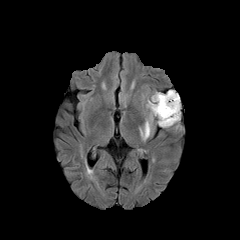
FLAIR magnetic resonance.
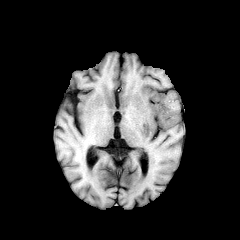
T1-weighted MR.
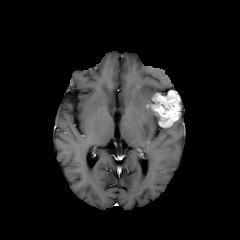
Same slice, post-contrast T1-weighted MRI.
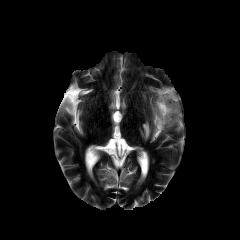
T2-weighted MR.
Brain, Axial view
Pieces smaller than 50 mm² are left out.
enhancing tumor: region(147, 90, 180, 127) | peritumoral edema: region(140, 121, 150, 139)